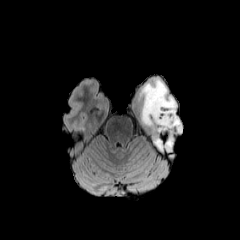
FLAIR MR.
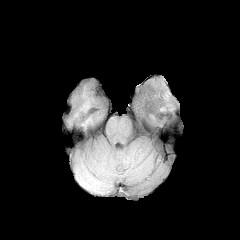
T1-weighted magnetic resonance.
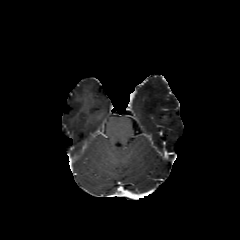
Post-contrast T1-weighted magnetic resonance.
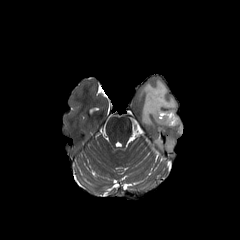
T2-weighted MRI.
Brain
Segmented structures:
* peritumoral edema: rect(139, 79, 182, 151)